Slice 60/155; 240x240; Brain
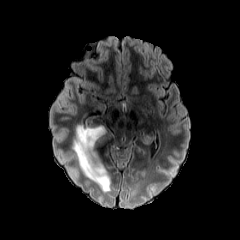
FLAIR MR.
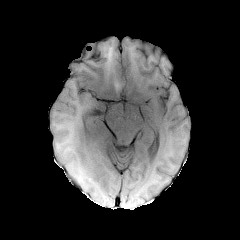
T1-weighted magnetic resonance of the same slice.
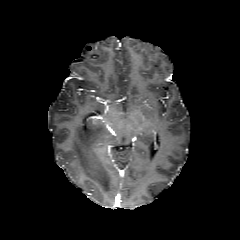
Post-contrast T1-weighted magnetic resonance of the same slice.
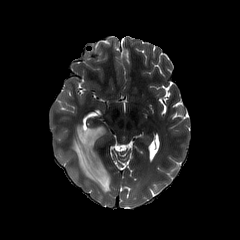
Same slice, T2-weighted MRI.
peritumoral edema at (left=72, top=125, right=110, bottom=191)